Brain | Slice 114/155 | Axial plane
FLAIR MR.
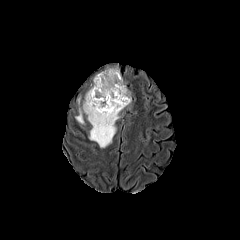
T1-weighted MRI.
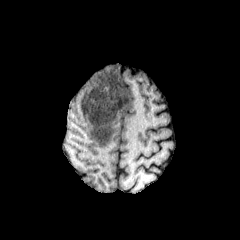
Post-contrast T1-weighted MR.
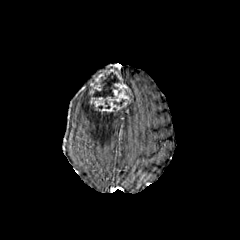
T2-weighted MR.
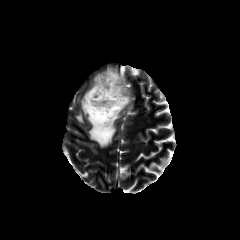
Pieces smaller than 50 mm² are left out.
The largest necrotic tumor core region is at {"x1": 89, "y1": 72, "x2": 120, "y2": 99}. The enhancing tumor appears at {"x1": 89, "y1": 67, "x2": 131, "y2": 112}. The 2 largest peritumoral edema regions are bounded by {"x1": 83, "y1": 91, "x2": 121, "y2": 147}, {"x1": 76, "y1": 110, "x2": 83, "y2": 123}.